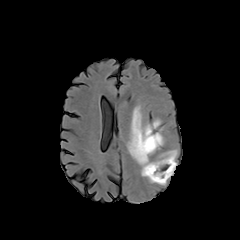
FLAIR magnetic resonance.
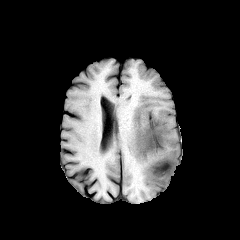
T1-weighted MRI of the same slice.
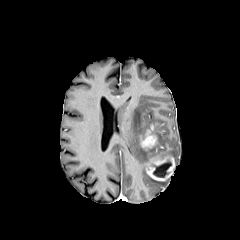
Post-contrast T1-weighted magnetic resonance.
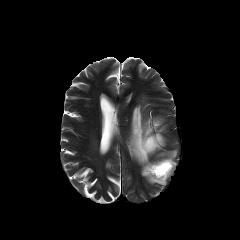
T2-weighted MR image.
Image size 240x240
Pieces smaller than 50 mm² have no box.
The largest peritumoral edema region appears at [x1=127, y1=105, x2=177, y2=185]. The necrotic tumor core is bounded by [x1=153, y1=160, x2=171, y2=177]. 2 enhancing tumor regions are located at [x1=140, y1=123, x2=158, y2=150], [x1=146, y1=157, x2=175, y2=181].